FLAIR MR image.
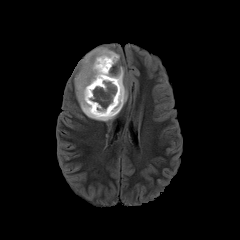
T1-weighted MR.
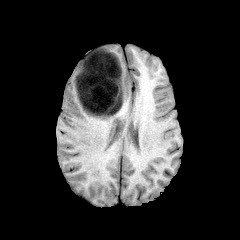
Post-contrast T1-weighted magnetic resonance.
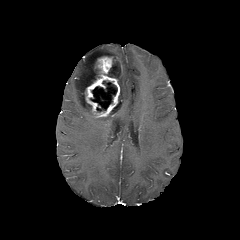
T2-weighted MR.
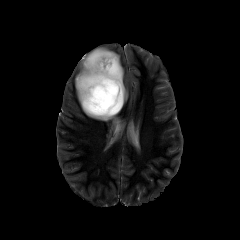
Axial view
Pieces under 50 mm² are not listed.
enhancing_tumor:
  - (left=84, top=56, right=122, bottom=117)
peritumoral_edema:
  - (left=74, top=46, right=128, bottom=121)
necrotic_tumor_core:
  - (left=90, top=81, right=117, bottom=111)
  - (left=109, top=96, right=121, bottom=115)
  - (left=108, top=58, right=121, bottom=79)